Brain | Image size 240x240 | Slice 121/155
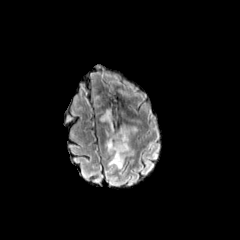
FLAIR MR.
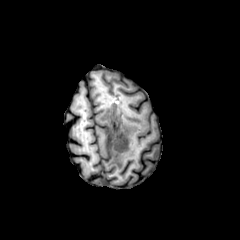
T1-weighted MR image.
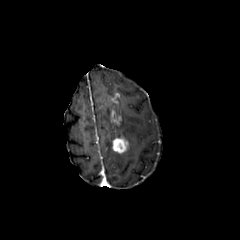
Same slice, post-contrast T1-weighted MR.
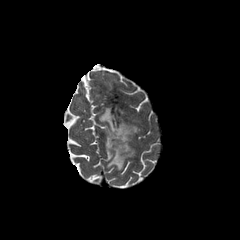
T2-weighted magnetic resonance.
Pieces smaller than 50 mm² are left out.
• enhancing tumor: x1=111 y1=135 x2=128 y2=153
• peritumoral edema: x1=100 y1=108 x2=138 y2=169